Slice 47 of 155; Head
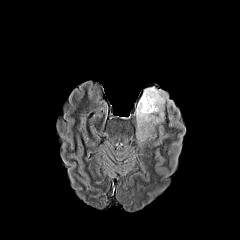
FLAIR magnetic resonance.
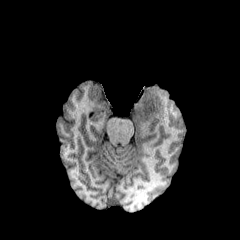
Same slice, T1-weighted MR image.
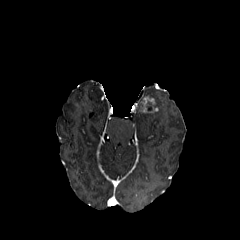
Post-contrast T1-weighted MRI of the same slice.
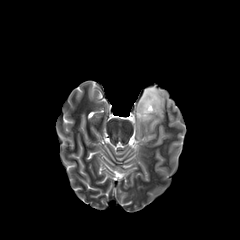
T2-weighted magnetic resonance of the same slice.
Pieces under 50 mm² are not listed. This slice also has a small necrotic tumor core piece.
peritumoral edema at (x1=136, y1=87, x2=167, y2=140)
enhancing tumor at (x1=139, y1=96, x2=158, y2=112)